FLAIR MR.
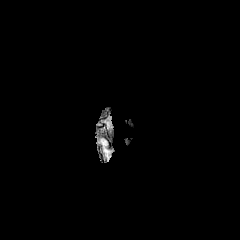
T1-weighted MRI.
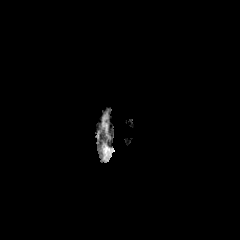
Post-contrast T1-weighted MR.
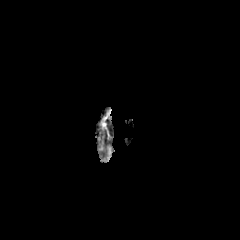
T2-weighted MRI.
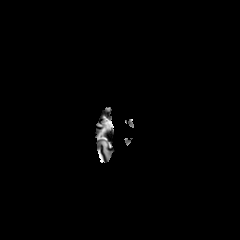
Brain
peritumoral edema: bounding box <box>102,140,112,159</box>